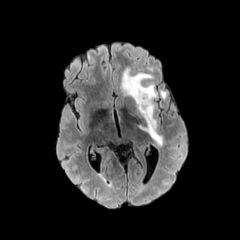
FLAIR MR image.
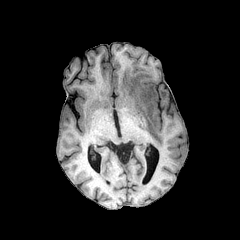
Same slice, T1-weighted MR.
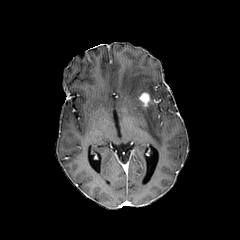
Same slice, post-contrast T1-weighted MR image.
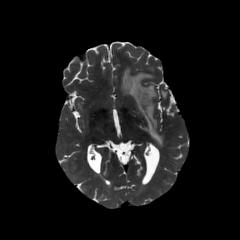
T2-weighted magnetic resonance.
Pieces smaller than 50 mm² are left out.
enhancing tumor: <box>139,92,155,107</box>
peritumoral edema: <box>121,68,163,146</box>